FLAIR magnetic resonance.
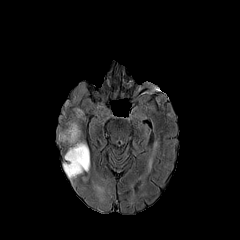
T1-weighted MR.
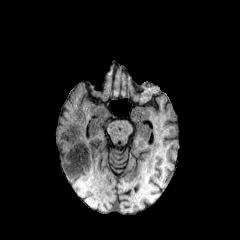
Post-contrast T1-weighted MRI.
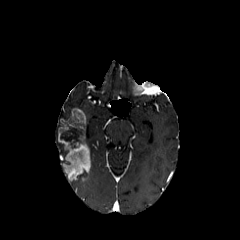
T2-weighted magnetic resonance.
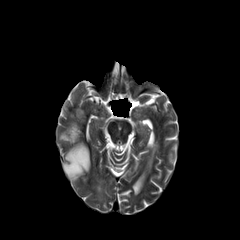
Head; Axial view
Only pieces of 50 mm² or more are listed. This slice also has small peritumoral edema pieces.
Segmented structures:
- enhancing tumor: rect(58, 108, 90, 180)
- necrotic tumor core: rect(60, 119, 82, 148)